Image width 240 mm. Brain.
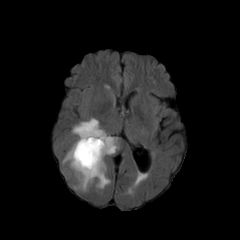
FLAIR MRI.
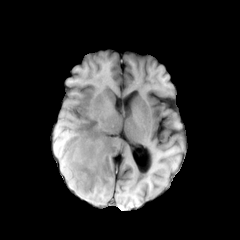
T1-weighted magnetic resonance.
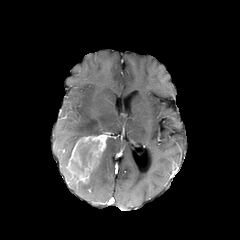
Post-contrast T1-weighted magnetic resonance.
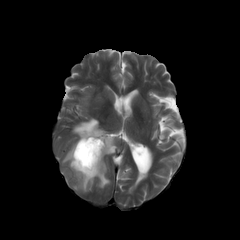
T2-weighted MR of the same slice.
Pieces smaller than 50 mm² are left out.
enhancing tumor — [x1=67, y1=133, x2=108, y2=184]
peritumoral edema — [x1=72, y1=118, x2=106, y2=139], [x1=63, y1=141, x2=76, y2=163], [x1=73, y1=136, x2=117, y2=191]
necrotic tumor core — [x1=78, y1=144, x2=91, y2=165]